FLAIR MRI.
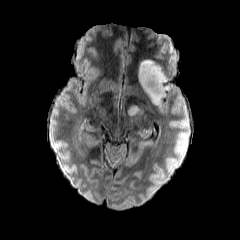
T1-weighted MR image.
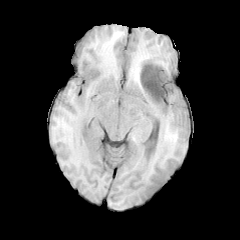
Post-contrast T1-weighted MRI.
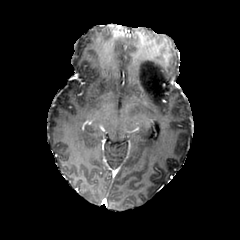
T2-weighted magnetic resonance.
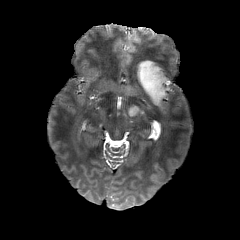
240x240; Axial view
Findings:
* peritumoral edema: <box>138,59,169,106</box>, <box>128,106,140,115</box>